Slice 117/155; Brain; 240x240
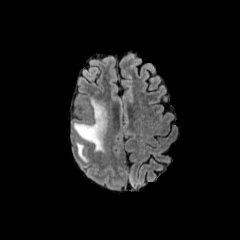
FLAIR MR.
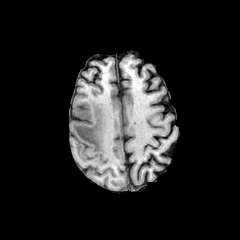
Same slice, T1-weighted MR.
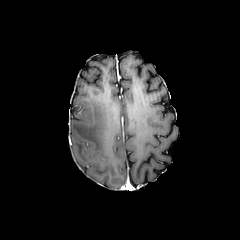
Post-contrast T1-weighted magnetic resonance.
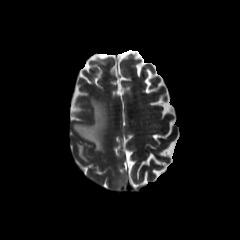
T2-weighted MR.
{"peritumoral_edema": ["bbox(72, 98, 106, 153)", "bbox(76, 142, 87, 163)"]}